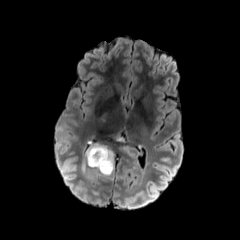
FLAIR MR.
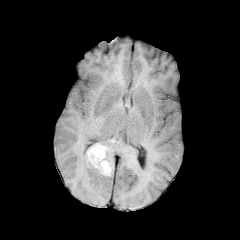
Same slice, T1-weighted MRI.
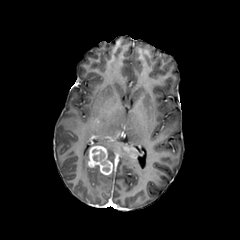
Post-contrast T1-weighted MR of the same slice.
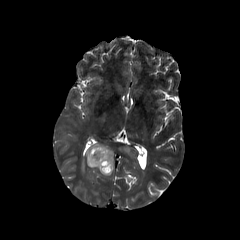
T2-weighted MRI.
Head; Axial view
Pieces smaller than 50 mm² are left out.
{
  "necrotic_tumor_core": [
    "(x1=93, y1=149, x2=104, y2=161)",
    "(x1=101, y1=161, x2=109, y2=171)"
  ],
  "enhancing_tumor": [
    "(x1=123, y1=146, x2=138, y2=158)",
    "(x1=88, y1=145, x2=112, y2=174)"
  ],
  "peritumoral_edema": [
    "(x1=90, y1=141, x2=114, y2=170)",
    "(x1=81, y1=147, x2=99, y2=182)"
  ]
}